Slice 84/155. Brain. Axial view.
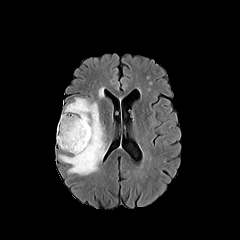
FLAIR MR image.
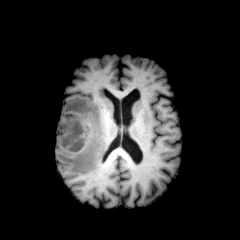
T1-weighted MRI of the same slice.
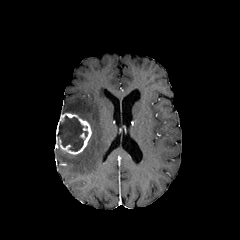
Post-contrast T1-weighted MR.
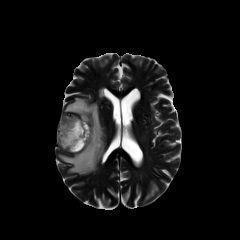
T2-weighted MRI.
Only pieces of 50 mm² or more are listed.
The largest peritumoral edema region appears at (x1=58, y1=97, x2=106, y2=175). The largest necrotic tumor core region is located at (x1=57, y1=116, x2=87, y2=151). The enhancing tumor lies within (x1=56, y1=113, x2=91, y2=154).